FLAIR magnetic resonance.
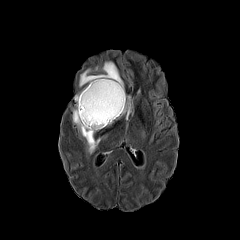
T1-weighted magnetic resonance.
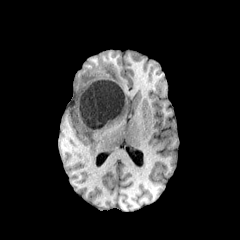
Post-contrast T1-weighted magnetic resonance.
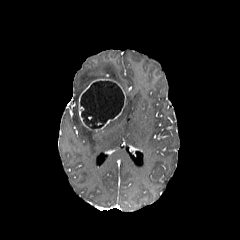
T2-weighted magnetic resonance.
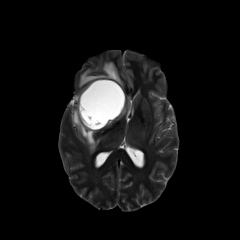
240x240
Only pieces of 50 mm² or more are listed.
enhancing_tumor:
  - box=[78, 78, 125, 131]
necrotic_tumor_core:
  - box=[80, 81, 124, 129]
peritumoral_edema:
  - box=[121, 95, 132, 118]
  - box=[79, 61, 124, 90]
  - box=[73, 91, 100, 153]